FLAIR magnetic resonance.
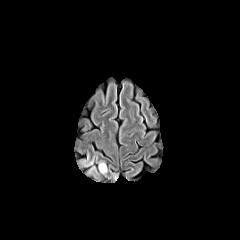
T1-weighted magnetic resonance.
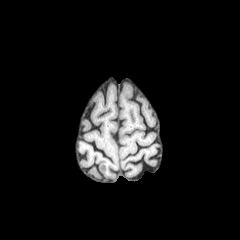
Post-contrast T1-weighted magnetic resonance.
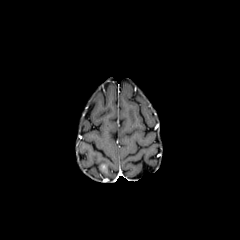
T2-weighted MR image.
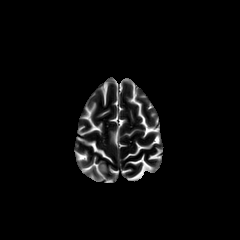
Axial slice; Brain; 240x240
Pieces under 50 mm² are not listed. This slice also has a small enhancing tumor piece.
Annotated regions:
• peritumoral edema: (99, 162, 107, 173)